Head; Image width 240 mm
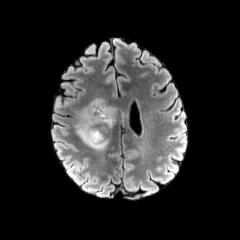
FLAIR MR image.
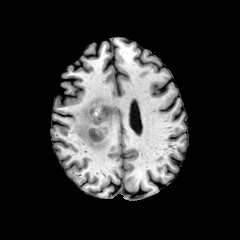
T1-weighted MR image.
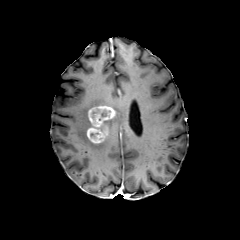
Same slice, post-contrast T1-weighted MR image.
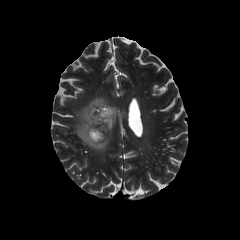
T2-weighted MRI.
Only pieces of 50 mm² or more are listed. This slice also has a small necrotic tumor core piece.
The enhancing tumor is located at bbox(86, 104, 116, 143). 2 peritumoral edema regions are located at bbox(75, 98, 117, 150); bbox(108, 115, 116, 131).